FLAIR magnetic resonance.
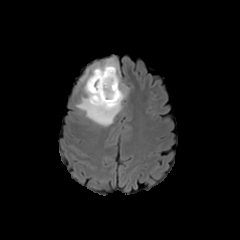
T1-weighted MR.
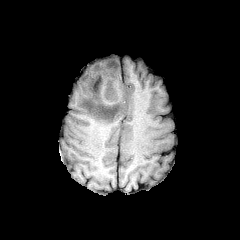
Post-contrast T1-weighted magnetic resonance.
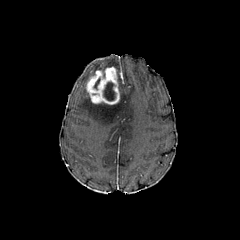
T2-weighted MRI.
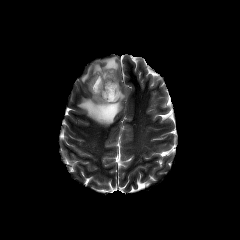
240x240 px
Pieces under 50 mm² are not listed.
<segmentation>
  <enhancing_tumor>rect(86, 66, 119, 104)</enhancing_tumor>
  <necrotic_tumor_core>rect(103, 82, 115, 100)</necrotic_tumor_core>
  <peritumoral_edema>rect(77, 57, 129, 126)</peritumoral_edema>
</segmentation>